Brain
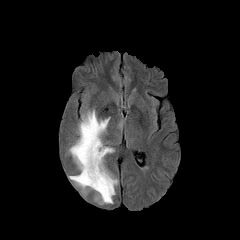
FLAIR MR.
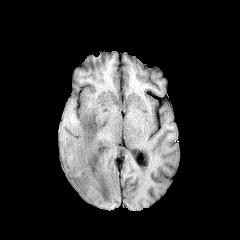
Same slice, T1-weighted MR.
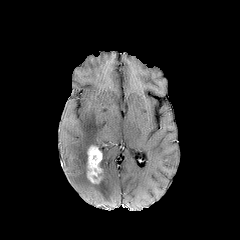
Post-contrast T1-weighted MR.
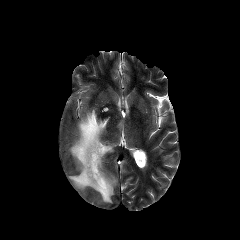
T2-weighted MRI of the same slice.
enhancing tumor: (87, 145, 102, 183) | peritumoral edema: (68, 109, 118, 203)